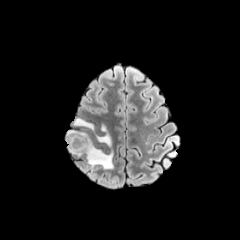
FLAIR MRI.
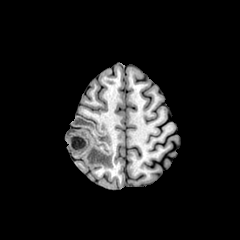
T1-weighted MR.
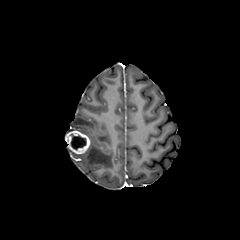
Post-contrast T1-weighted MRI of the same slice.
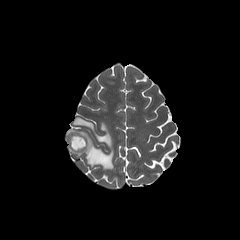
Same slice, T2-weighted MR.
Head
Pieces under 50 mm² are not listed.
peritumoral edema at left=68, top=123, right=113, bottom=168; left=72, top=117, right=94, bottom=130
enhancing tumor at left=65, top=130, right=90, bottom=154
necrotic tumor core at left=70, top=134, right=86, bottom=149